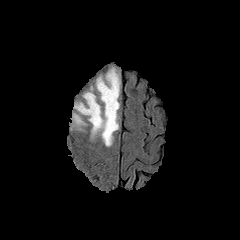
FLAIR MRI.
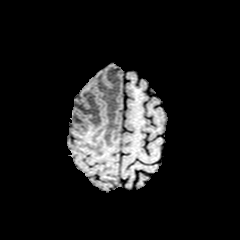
T1-weighted MRI.
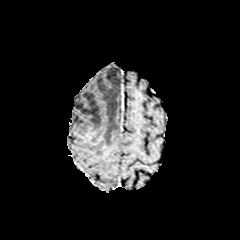
Post-contrast T1-weighted MR image.
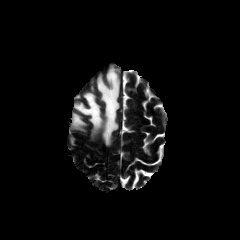
Same slice, T2-weighted MRI.
Head. 240x240 px.
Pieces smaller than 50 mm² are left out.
The 2 largest peritumoral edema regions appear at (left=72, top=113, right=86, bottom=129), (left=74, top=67, right=120, bottom=146).